Axial view
FLAIR MR image.
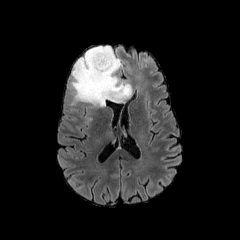
T1-weighted magnetic resonance.
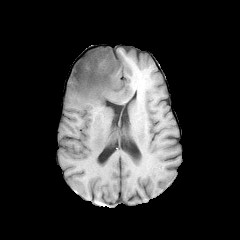
Post-contrast T1-weighted MRI.
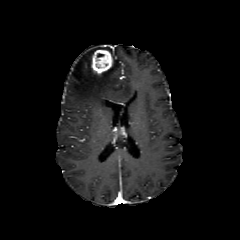
T2-weighted MRI.
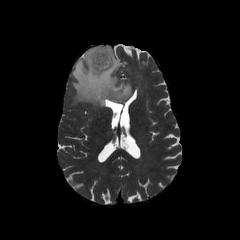
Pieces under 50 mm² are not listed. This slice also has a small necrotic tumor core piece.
{
  "enhancing_tumor": [
    "91:50:113:74"
  ],
  "peritumoral_edema": [
    "70:46:131:106"
  ]
}